Axial view, Image width 240 mm, Head
FLAIR MR image.
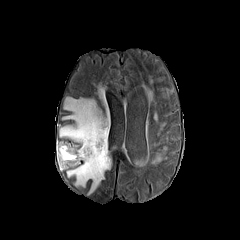
T1-weighted MRI.
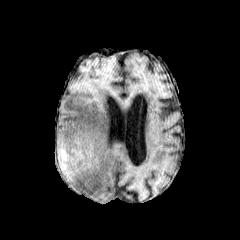
Post-contrast T1-weighted magnetic resonance.
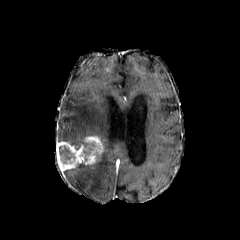
T2-weighted MR.
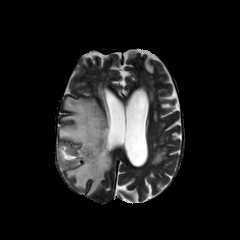
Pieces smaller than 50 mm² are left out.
Annotated regions:
* peritumoral edema: box=[59, 89, 111, 193]
* necrotic tumor core: box=[59, 146, 74, 163]
* enhancing tumor: box=[56, 135, 104, 173]